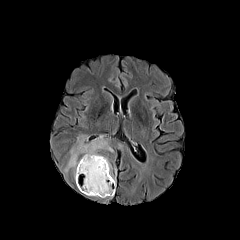
FLAIR magnetic resonance.
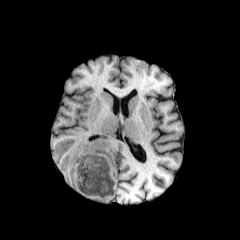
T1-weighted MR image of the same slice.
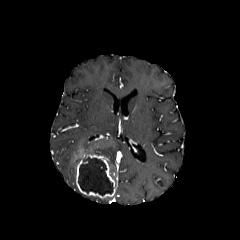
Post-contrast T1-weighted MR.
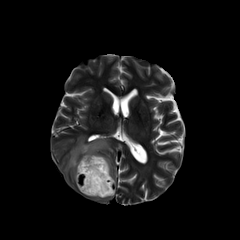
Same slice, T2-weighted MRI.
Brain
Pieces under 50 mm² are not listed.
The largest peritumoral edema region lies within box=[65, 134, 113, 182]. The necrotic tumor core lies within box=[78, 157, 113, 195]. The enhancing tumor is located at box=[76, 153, 115, 198].